Brain | Axial slice | Image width 240 mm, 1.00 mm slice spacing
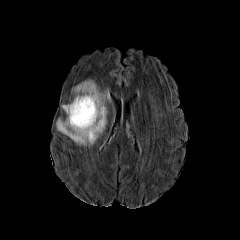
FLAIR MR.
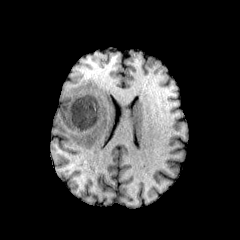
Same slice, T1-weighted MR.
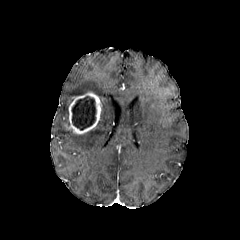
Post-contrast T1-weighted MR image.
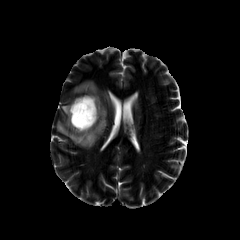
Same slice, T2-weighted MR.
* enhancing tumor: region(65, 92, 102, 134)
* peritumoral edema: region(56, 80, 109, 146)
* necrotic tumor core: region(71, 96, 96, 130)